Head, Slice index 109, 240x240
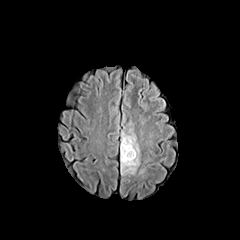
FLAIR MR image.
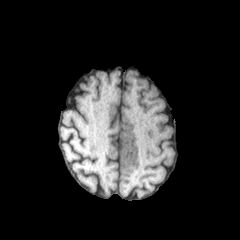
T1-weighted MR image.
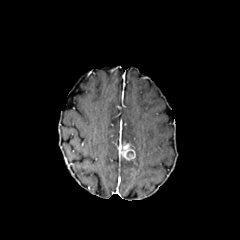
Post-contrast T1-weighted MRI.
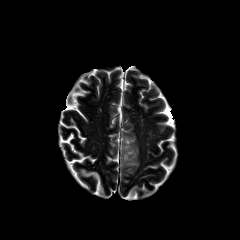
T2-weighted MR image.
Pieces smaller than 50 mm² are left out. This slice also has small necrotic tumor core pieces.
peritumoral edema: bbox(121, 128, 139, 164); bbox(120, 156, 136, 174) | enhancing tumor: bbox(120, 143, 135, 160)